Axial plane; Slice 64/155; Image size 240x240
FLAIR magnetic resonance.
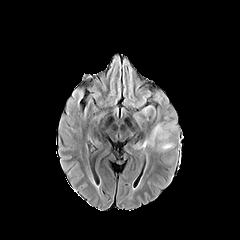
T1-weighted MR.
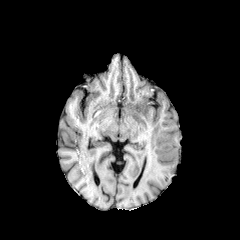
Post-contrast T1-weighted magnetic resonance.
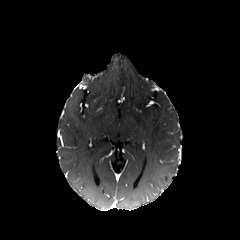
T2-weighted magnetic resonance.
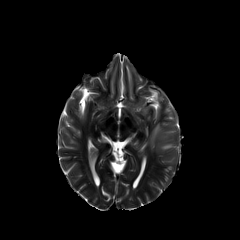
peritumoral_edema:
  - bbox(161, 144, 171, 149)
  - bbox(150, 124, 162, 146)